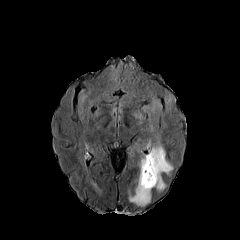
FLAIR MR.
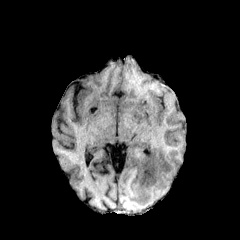
Same slice, T1-weighted MRI.
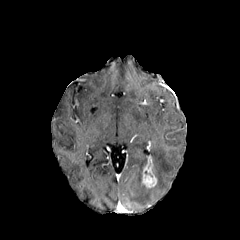
Same slice, post-contrast T1-weighted MR.
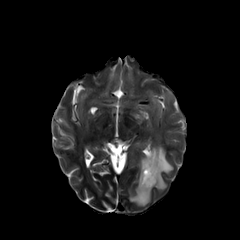
T2-weighted MRI.
Head | Axial view
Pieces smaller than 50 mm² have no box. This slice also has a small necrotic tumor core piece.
3 peritumoral edema regions are located at 166,89,174,107; 129,155,151,206; 143,95,173,191. The enhancing tumor lies within 141,155,157,188.